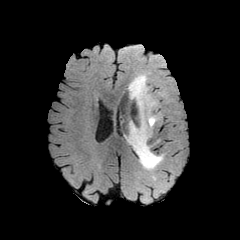
FLAIR MR image.
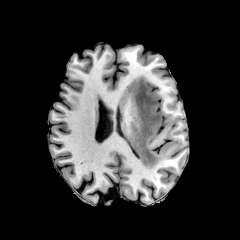
T1-weighted MR image.
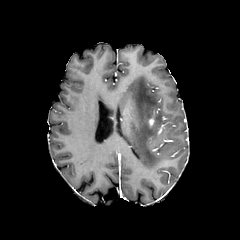
Post-contrast T1-weighted magnetic resonance of the same slice.
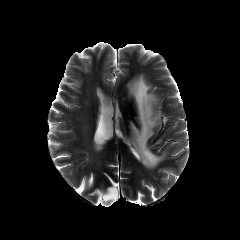
T2-weighted MRI.
Axial slice | Brain | 240x240 px
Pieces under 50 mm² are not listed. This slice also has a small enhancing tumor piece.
peritumoral edema: (x1=127, y1=74, x2=164, y2=169)